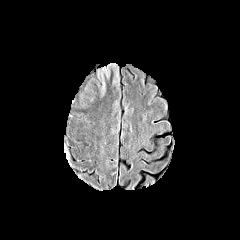
FLAIR MR image.
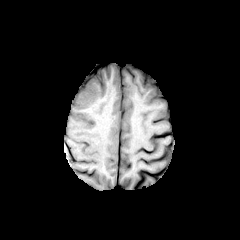
Same slice, T1-weighted MR.
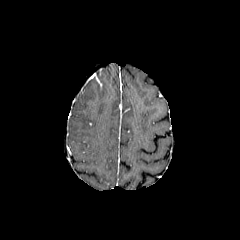
Same slice, post-contrast T1-weighted MR.
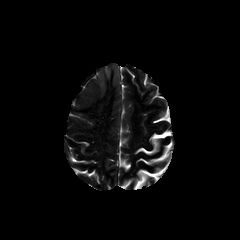
T2-weighted MRI.
240x240 px, Brain
peritumoral_edema:
  - 97:63:119:86
  - 81:80:105:103